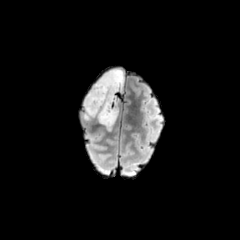
FLAIR MR.
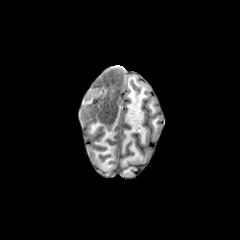
T1-weighted MR of the same slice.
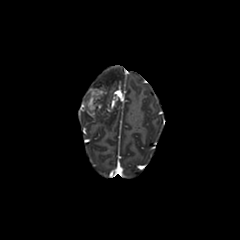
Post-contrast T1-weighted magnetic resonance.
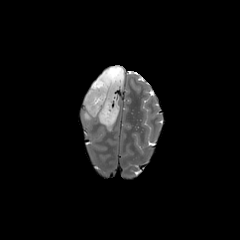
Same slice, T2-weighted MRI.
Axial plane
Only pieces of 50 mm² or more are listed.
<segmentation>
  <enhancing_tumor>bbox=[82, 84, 120, 117]</enhancing_tumor>
  <peritumoral_edema>bbox=[93, 68, 124, 91]; bbox=[83, 102, 118, 130]</peritumoral_edema>
</segmentation>